FLAIR MRI.
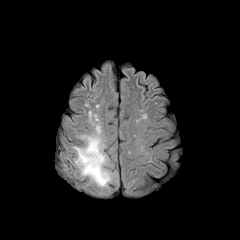
T1-weighted MR.
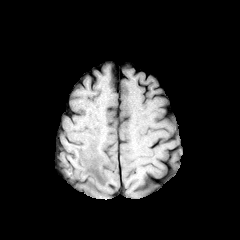
Post-contrast T1-weighted MRI.
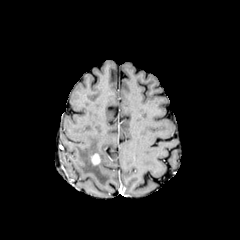
T2-weighted MR image.
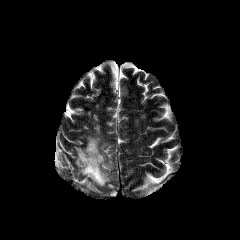
Brain, Axial slice, 240x240 px
<segmentation>
  <enhancing_tumor>box=[91, 153, 100, 165]</enhancing_tumor>
  <peritumoral_edema>box=[74, 125, 113, 186]</peritumoral_edema>
</segmentation>